Head, Axial slice
FLAIR MRI.
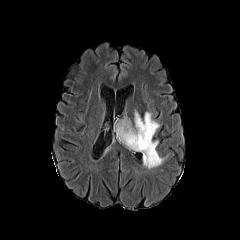
T1-weighted MR image.
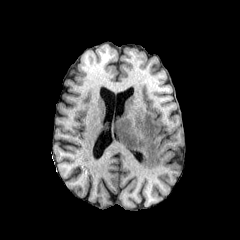
Post-contrast T1-weighted MR image.
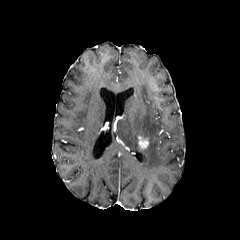
T2-weighted MRI.
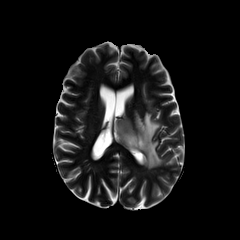
The peritumoral edema is bounded by [116,111,163,169]. The enhancing tumor is bounded by [138,136,148,148].